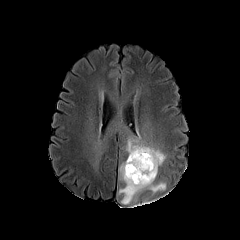
FLAIR MR image.
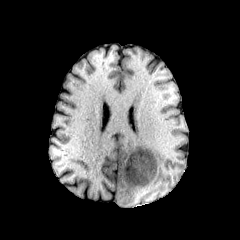
T1-weighted magnetic resonance.
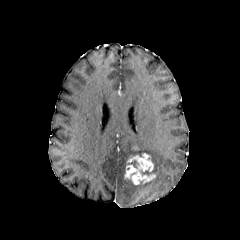
Same slice, post-contrast T1-weighted MR.
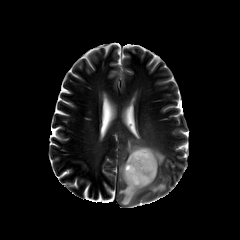
T2-weighted magnetic resonance.
Axial slice; Head
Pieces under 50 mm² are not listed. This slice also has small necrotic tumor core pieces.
- enhancing tumor: (124, 153, 155, 184)
- peritumoral edema: (126, 133, 165, 176), (118, 160, 166, 204)